FLAIR MRI.
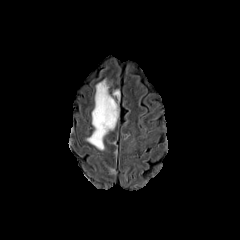
T1-weighted MR.
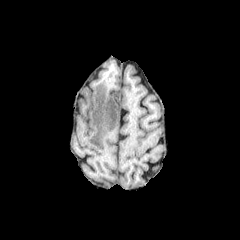
Post-contrast T1-weighted magnetic resonance.
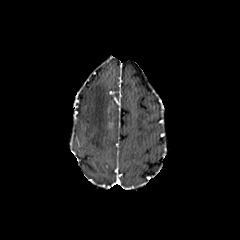
T2-weighted MR image.
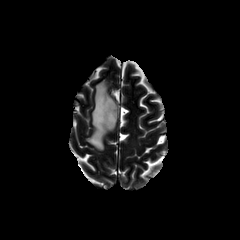
Image size 240x240
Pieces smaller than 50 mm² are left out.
The largest necrotic tumor core region appears at rect(108, 106, 115, 122). The largest enhancing tumor region appears at rect(107, 102, 114, 113). The largest peritumoral edema region is at rect(87, 80, 118, 149).